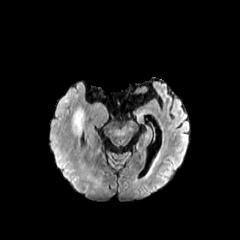
FLAIR MR image.
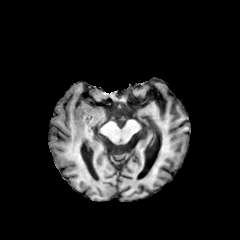
Same slice, T1-weighted magnetic resonance.
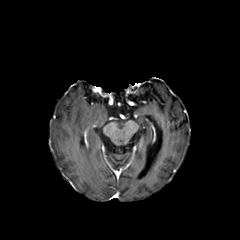
Post-contrast T1-weighted magnetic resonance.
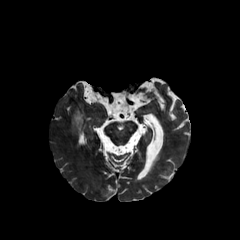
Same slice, T2-weighted MR image.
The peritumoral edema lies within region(73, 108, 84, 135).